Axial view; 240x240; Head; Image covers 240 mm x 240 mm
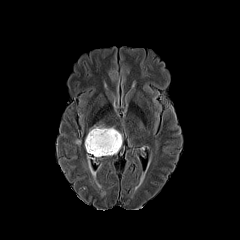
FLAIR MR.
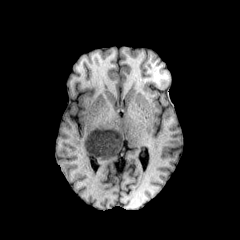
T1-weighted magnetic resonance.
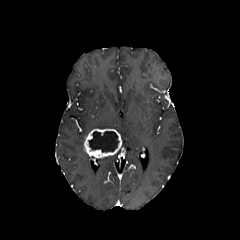
Post-contrast T1-weighted magnetic resonance of the same slice.
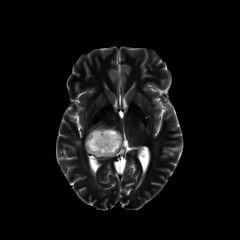
T2-weighted MR image.
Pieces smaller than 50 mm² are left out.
Findings:
- necrotic tumor core: l=88, t=131, r=119, b=152
- peritumoral edema: l=89, t=125, r=114, b=132
- enhancing tumor: l=84, t=129, r=121, b=158